Head.
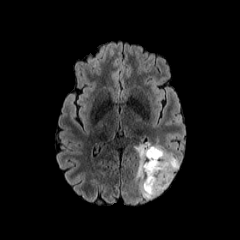
FLAIR MR.
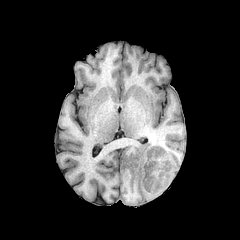
Same slice, T1-weighted MR.
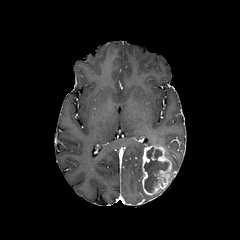
Post-contrast T1-weighted MRI.
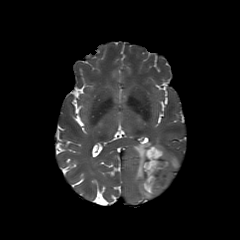
Same slice, T2-weighted magnetic resonance.
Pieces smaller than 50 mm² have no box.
The enhancing tumor is located at bbox=[140, 145, 172, 195]. The largest necrotic tumor core region is bounded by bbox=[144, 147, 168, 193]. 2 peritumoral edema regions appear at bbox=[134, 138, 163, 199]; bbox=[165, 148, 179, 177].